Image width 240 mm, 1.00 mm slice spacing, Head
FLAIR MR image.
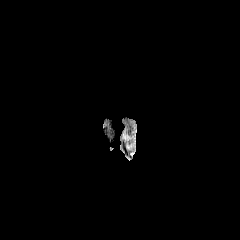
T1-weighted MR.
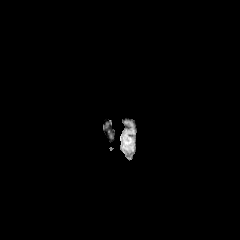
Post-contrast T1-weighted MR.
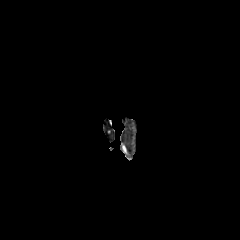
T2-weighted magnetic resonance.
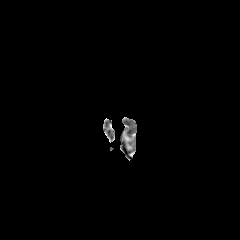
Findings:
• peritumoral edema: 123,132,131,149